FLAIR MR.
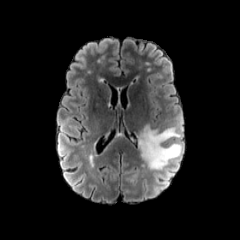
T1-weighted MRI.
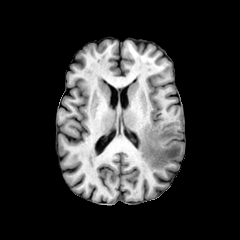
Post-contrast T1-weighted MR image.
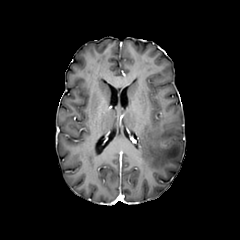
T2-weighted MRI.
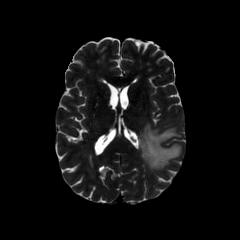
Image size 240x240
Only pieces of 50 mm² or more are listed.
Segmented structures:
* peritumoral edema: (left=138, top=125, right=183, bottom=170)